FLAIR magnetic resonance.
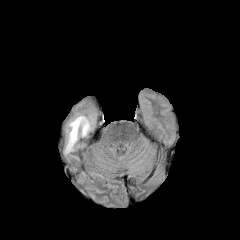
T1-weighted magnetic resonance.
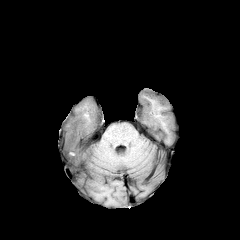
Post-contrast T1-weighted magnetic resonance.
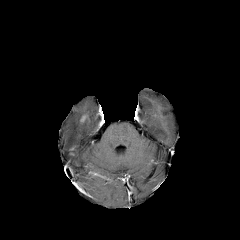
T2-weighted MRI.
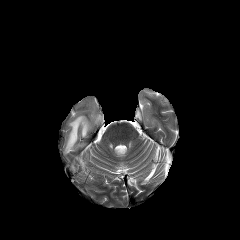
Head, 240x240 px
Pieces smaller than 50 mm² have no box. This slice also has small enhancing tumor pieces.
peritumoral edema = bbox=[64, 114, 94, 154]